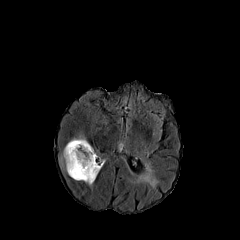
FLAIR MRI.
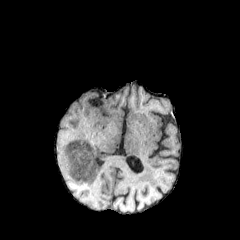
T1-weighted MR.
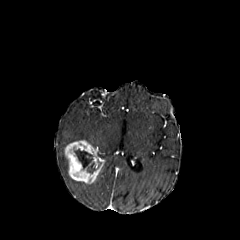
Post-contrast T1-weighted MR image of the same slice.
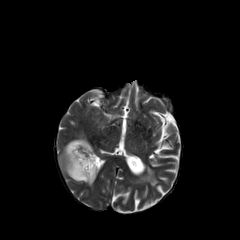
T2-weighted MRI.
240x240
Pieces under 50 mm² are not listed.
{"peritumoral_edema": ["59, 150, 68, 172", "68, 135, 86, 143"], "necrotic_tumor_core": ["74, 149, 95, 173"], "enhancing_tumor": ["64, 140, 104, 183"]}